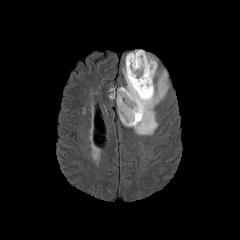
FLAIR magnetic resonance.
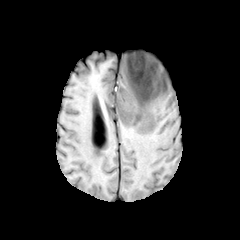
Same slice, T1-weighted MR.
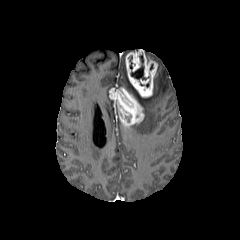
Post-contrast T1-weighted MR image.
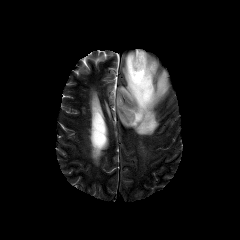
T2-weighted MRI of the same slice.
Brain
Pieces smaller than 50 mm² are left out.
necrotic tumor core = rect(131, 53, 147, 80)
enhancing tumor = rect(125, 49, 157, 97); rect(109, 87, 144, 126)
peritumoral edema = rect(122, 63, 169, 135)